FLAIR MRI.
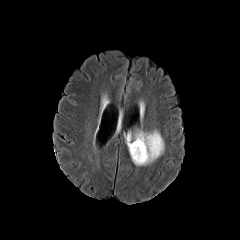
T1-weighted magnetic resonance.
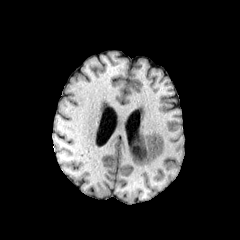
Post-contrast T1-weighted magnetic resonance.
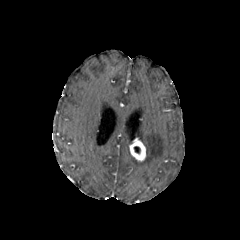
T2-weighted magnetic resonance.
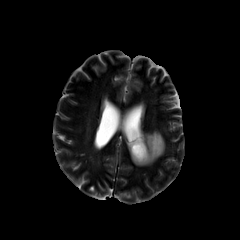
Brain
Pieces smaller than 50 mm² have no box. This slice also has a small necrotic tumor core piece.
peritumoral edema: bounding box 125, 134, 130, 147; 131, 130, 164, 165
enhancing tumor: bounding box 129, 139, 146, 161